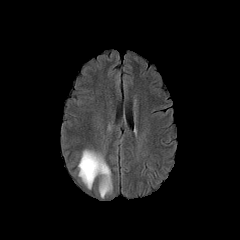
FLAIR magnetic resonance.
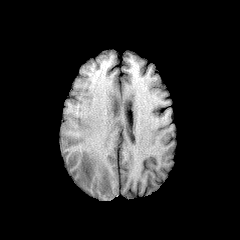
T1-weighted MR image of the same slice.
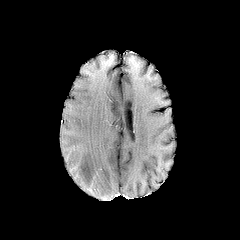
Post-contrast T1-weighted MRI.
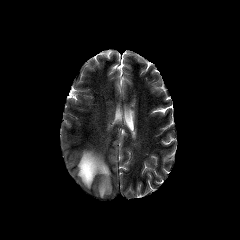
Same slice, T2-weighted MR.
Head
<segmentation>
  <peritumoral_edema>region(78, 150, 111, 197)</peritumoral_edema>
</segmentation>